Image width 240 mm, Axial view, 240x240
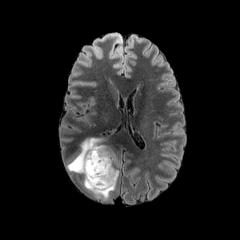
FLAIR MR.
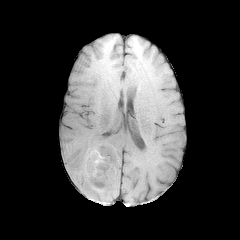
Same slice, T1-weighted MR.
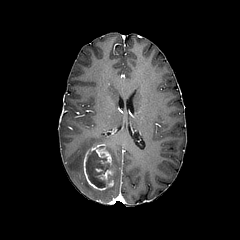
Post-contrast T1-weighted MR.
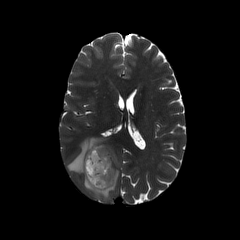
T2-weighted MR image.
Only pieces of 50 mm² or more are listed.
Findings:
* necrotic tumor core: l=86, t=150, r=109, b=187
* peritumoral edema: l=66, t=137, r=119, b=199
* enhancing tumor: l=83, t=144, r=116, b=190